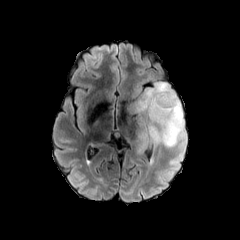
FLAIR MRI.
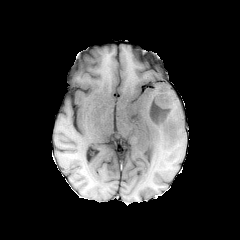
T1-weighted MR image.
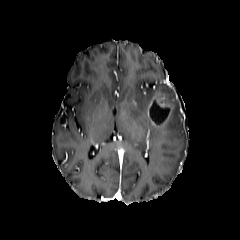
Post-contrast T1-weighted MR of the same slice.
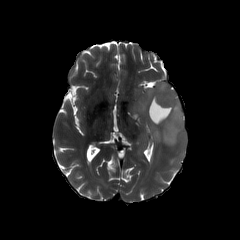
T2-weighted MR.
Axial plane
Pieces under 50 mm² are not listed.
The enhancing tumor is at region(148, 93, 172, 125). The necrotic tumor core is located at region(149, 100, 169, 123). The largest peritumoral edema region is located at region(128, 82, 185, 153).